Axial slice, Image size 240x240, Head
FLAIR MR image.
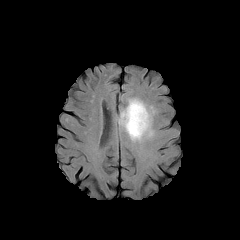
T1-weighted MRI.
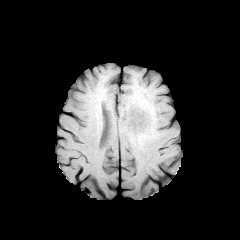
Post-contrast T1-weighted MRI.
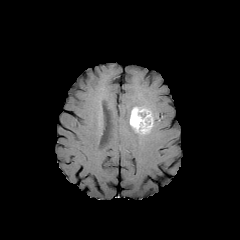
T2-weighted magnetic resonance.
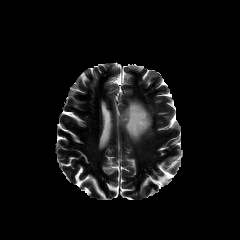
The enhancing tumor lies within <box>129,107,152,133</box>. The peritumoral edema is located at <box>118,98,154,141</box>.